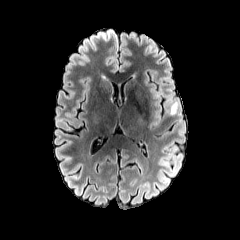
FLAIR MRI.
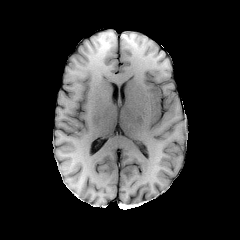
T1-weighted MR image of the same slice.
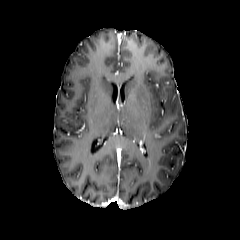
Same slice, post-contrast T1-weighted MRI.
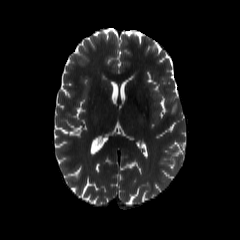
T2-weighted MR image.
Axial slice.
The peritumoral edema is at (170,100,178,114).